Head
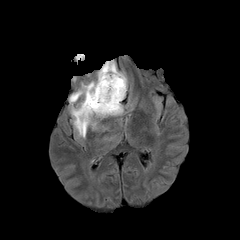
FLAIR MR.
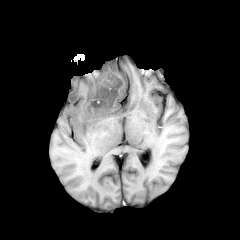
T1-weighted MR image.
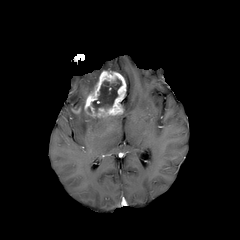
Post-contrast T1-weighted MRI.
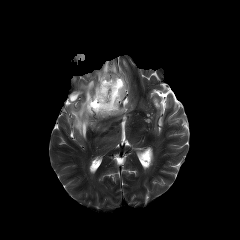
T2-weighted magnetic resonance.
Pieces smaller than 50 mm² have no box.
{"necrotic_tumor_core": ["(92,77,121,112)"], "peritumoral_edema": ["(97,60,117,79)", "(69,80,97,138)"], "enhancing_tumor": ["(84,70,126,118)", "(70,106,82,114)"]}